FLAIR MRI.
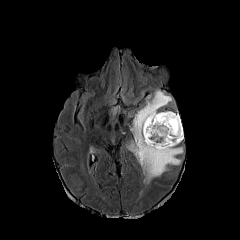
T1-weighted magnetic resonance.
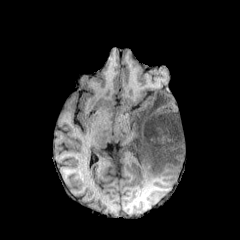
Post-contrast T1-weighted magnetic resonance.
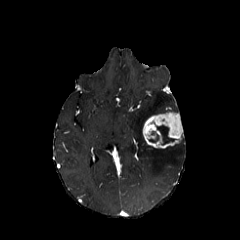
T2-weighted MR.
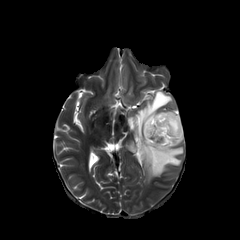
240x240 px. Axial view.
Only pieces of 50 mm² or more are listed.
Annotated regions:
- necrotic tumor core: l=157, t=125, r=175, b=144
- peritumoral edema: l=127, t=90, r=183, b=183
- enhancing tumor: l=142, t=111, r=183, b=148